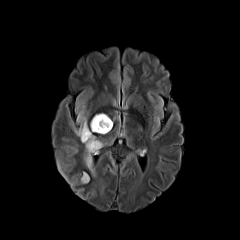
FLAIR MR image.
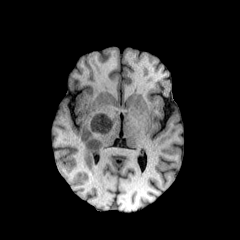
T1-weighted MR image.
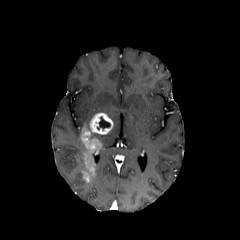
Post-contrast T1-weighted magnetic resonance of the same slice.
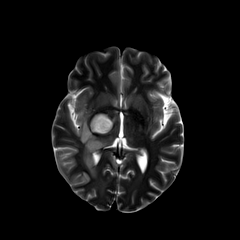
T2-weighted MR image.
Axial slice
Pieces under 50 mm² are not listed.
Annotated regions:
• necrotic tumor core: <box>97,116,110,129</box>
• enhancing tumor: <box>80,113,113,175</box>, <box>83,172,89,182</box>
• peritumoral edema: <box>74,111,87,138</box>